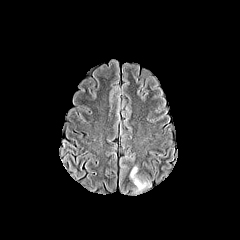
FLAIR MR image.
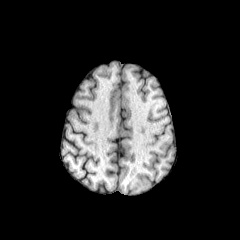
T1-weighted MRI.
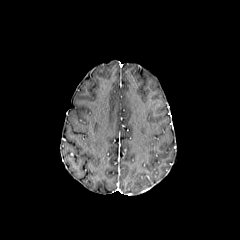
Post-contrast T1-weighted magnetic resonance.
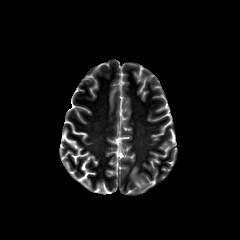
Same slice, T2-weighted MRI.
Axial view | Brain
* peritumoral edema: <bbox>130, 167, 147, 190</bbox>